Image width 240 mm, 1.00 mm slice spacing. Slice index 86.
FLAIR MR.
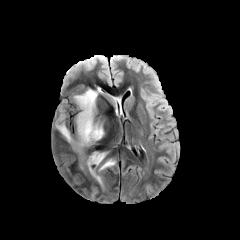
T1-weighted MR image.
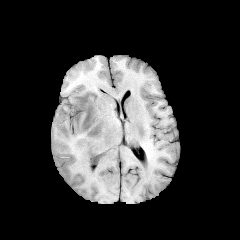
Post-contrast T1-weighted magnetic resonance.
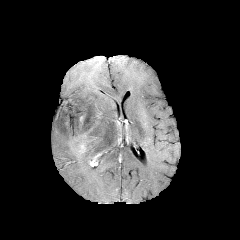
T2-weighted MR image.
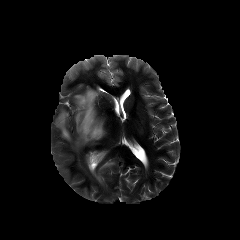
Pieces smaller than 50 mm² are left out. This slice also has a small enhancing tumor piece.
peritumoral edema — <box>98,159,115,171</box>, <box>55,87,104,151</box>, <box>86,151,106,182</box>